FLAIR MR.
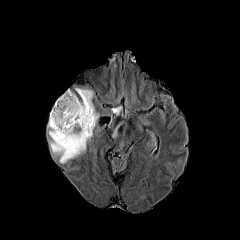
T1-weighted MRI.
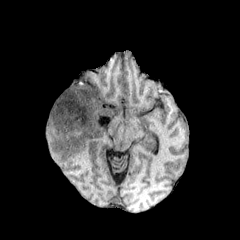
Post-contrast T1-weighted magnetic resonance.
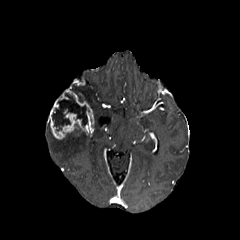
T2-weighted MR image.
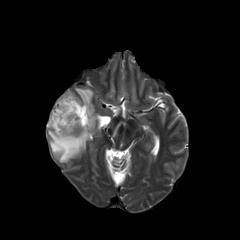
240x240, Axial view
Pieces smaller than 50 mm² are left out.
<segmentation>
  <necrotic_tumor_core>[52,93,87,130]</necrotic_tumor_core>
  <enhancing_tumor>[48,89,94,139]</enhancing_tumor>
  <peritumoral_edema>[47,124,90,163], [75,87,98,128]</peritumoral_edema>
</segmentation>